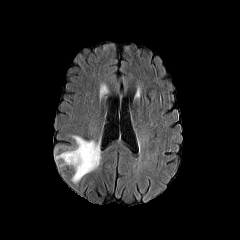
FLAIR MR image.
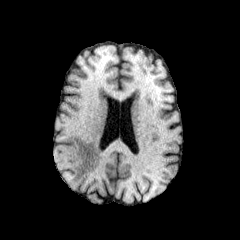
Same slice, T1-weighted MRI.
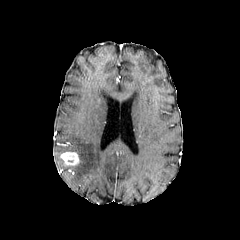
Post-contrast T1-weighted MR.
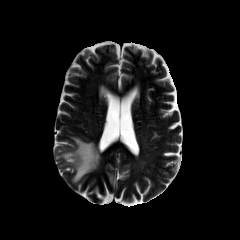
T2-weighted magnetic resonance.
Brain
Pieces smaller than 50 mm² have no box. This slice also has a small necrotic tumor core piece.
enhancing tumor = left=60, top=152, right=79, bottom=165
peritumoral edema = left=65, top=136, right=101, bottom=183